FLAIR MRI.
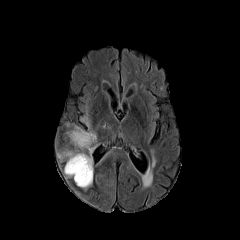
T1-weighted magnetic resonance.
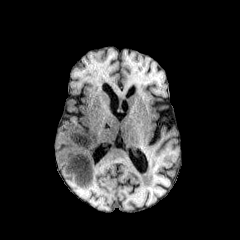
Post-contrast T1-weighted magnetic resonance.
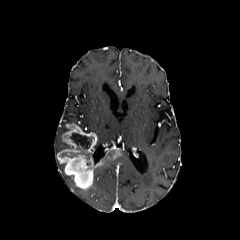
T2-weighted MR.
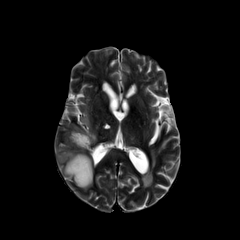
Image size 240x240
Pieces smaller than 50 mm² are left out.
{
  "peritumoral_edema": [
    "x1=79 y1=114 x2=93 y2=132"
  ],
  "enhancing_tumor": [
    "x1=98 y1=149 x2=122 y2=165",
    "x1=57 y1=123 x2=97 y2=191"
  ],
  "necrotic_tumor_core": [
    "x1=70 y1=133 x2=92 y2=159"
  ]
}